FLAIR MRI.
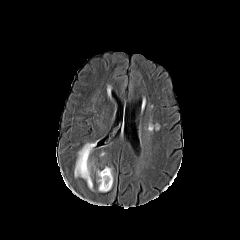
T1-weighted magnetic resonance.
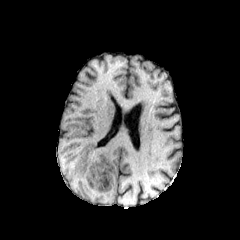
Post-contrast T1-weighted MR image.
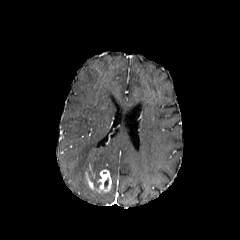
T2-weighted magnetic resonance.
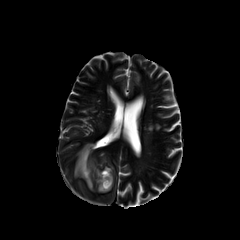
Axial plane
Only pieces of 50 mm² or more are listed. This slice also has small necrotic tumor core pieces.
<segmentation>
  <enhancing_tumor><bbox>85, 171, 93, 189</bbox>, <bbox>97, 169, 112, 192</bbox></enhancing_tumor>
  <peritumoral_edema><bbox>104, 167, 113, 182</bbox>, <bbox>74, 143, 101, 180</bbox></peritumoral_edema>
</segmentation>